FLAIR magnetic resonance.
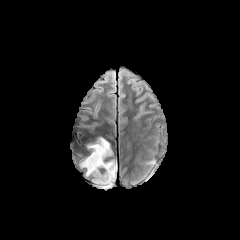
T1-weighted MR.
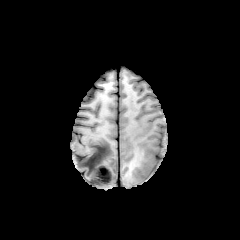
Post-contrast T1-weighted MRI.
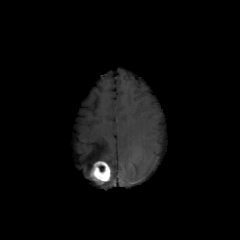
T2-weighted MRI.
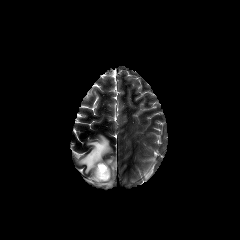
Brain.
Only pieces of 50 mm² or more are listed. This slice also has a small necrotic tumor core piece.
Segmented structures:
• enhancing tumor: left=90, top=161, right=111, bottom=184
• peritumoral edema: left=98, top=159, right=116, bottom=188; left=144, top=159, right=155, bottom=179; left=79, top=137, right=112, bottom=176